Brain | Slice 104 of 155 | Image covers 240 mm x 240 mm
FLAIR MR.
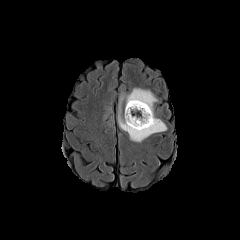
T1-weighted MR image.
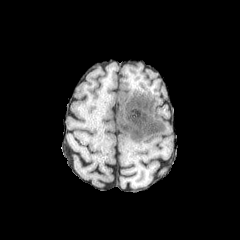
Post-contrast T1-weighted magnetic resonance.
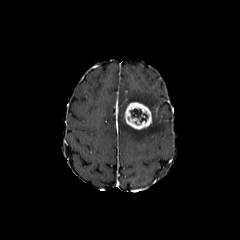
T2-weighted MR image.
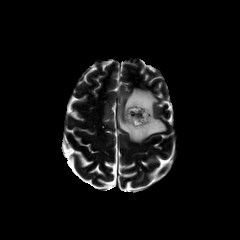
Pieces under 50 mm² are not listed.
- necrotic tumor core: 130, 109, 147, 122
- peritumoral edema: 118, 88, 166, 142
- enhancing tumor: 124, 102, 152, 129